Image size 240x240; Brain; Axial plane; Slice 63 of 155
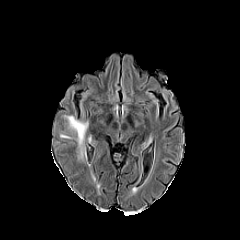
FLAIR MR.
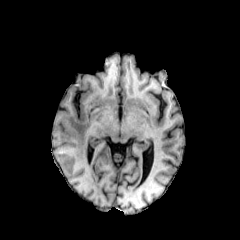
Same slice, T1-weighted MR image.
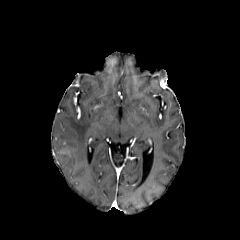
Post-contrast T1-weighted MR.
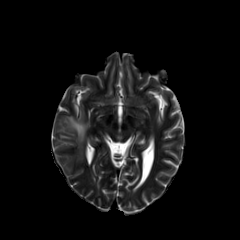
T2-weighted MR of the same slice.
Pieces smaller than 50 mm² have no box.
peritumoral edema: left=64, top=116, right=88, bottom=159